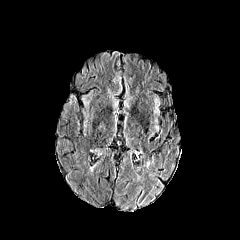
FLAIR MR.
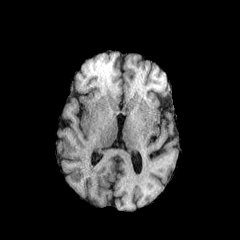
T1-weighted MR.
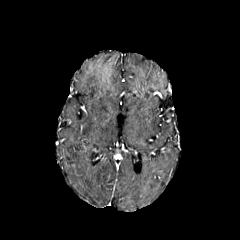
Post-contrast T1-weighted MRI.
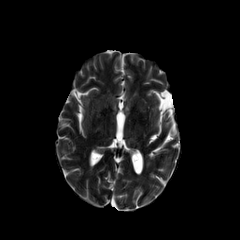
T2-weighted magnetic resonance.
Head
Findings:
- peritumoral edema: [82,92,92,121]